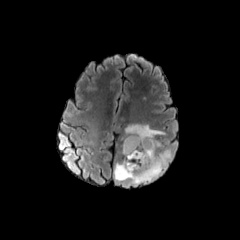
FLAIR MRI.
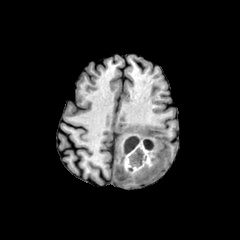
T1-weighted MRI.
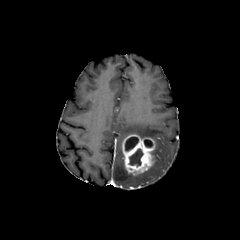
Same slice, post-contrast T1-weighted MRI.
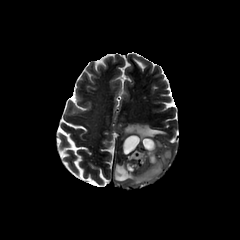
T2-weighted MR of the same slice.
Image size 240x240 | Brain
enhancing tumor: 122,134,155,174
peritumoral edema: 114,123,171,185
necrotic tumor core: 129,148,143,166; 144,139,152,147; 125,137,138,151